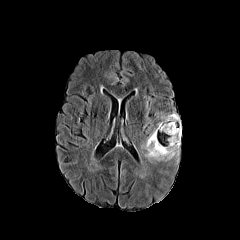
FLAIR MR.
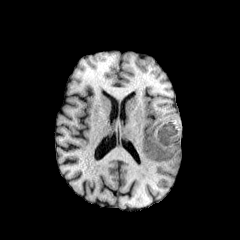
T1-weighted magnetic resonance of the same slice.
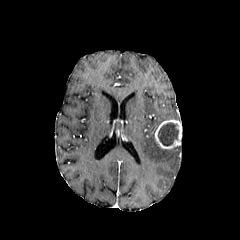
Post-contrast T1-weighted MR image.
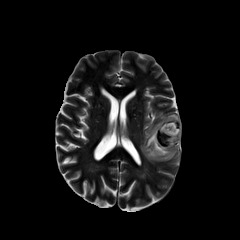
T2-weighted MR.
240x240 px; Axial slice
necrotic_tumor_core:
  - box=[158, 123, 178, 145]
peritumoral_edema:
  - box=[157, 112, 180, 127]
  - box=[141, 128, 179, 163]
enhancing_tumor:
  - box=[155, 119, 181, 149]